Brain, 240x240
FLAIR magnetic resonance.
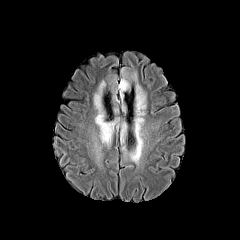
T1-weighted MR image.
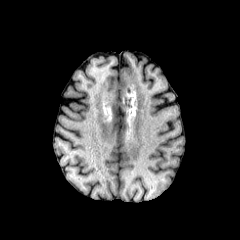
Post-contrast T1-weighted MR image.
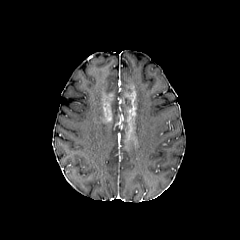
T2-weighted magnetic resonance.
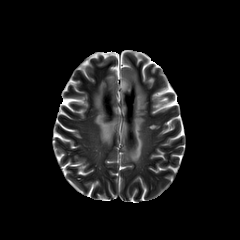
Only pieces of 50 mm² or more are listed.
The 2 largest peritumoral edema regions are bounded by box=[119, 69, 146, 164]; box=[94, 75, 118, 145].